FLAIR MRI.
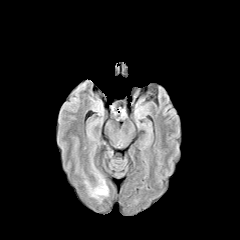
T1-weighted MR.
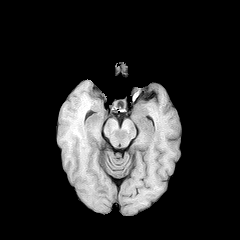
Post-contrast T1-weighted MR.
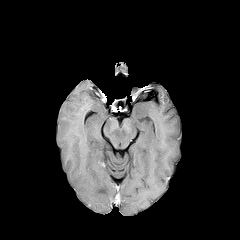
T2-weighted MR.
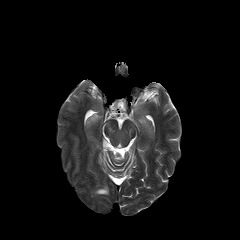
240x240 px | Axial view
The peritumoral edema appears at left=92, top=181, right=108, bottom=196.